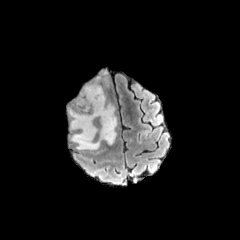
FLAIR MR image.
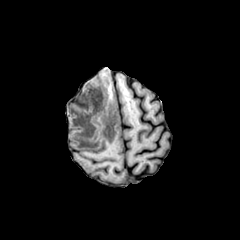
Same slice, T1-weighted MR image.
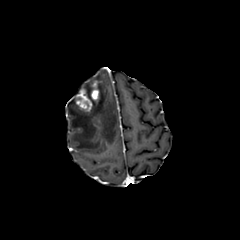
Post-contrast T1-weighted magnetic resonance of the same slice.
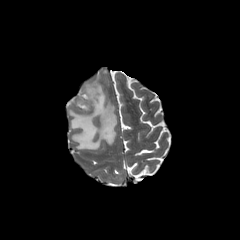
T2-weighted MRI of the same slice.
enhancing tumor at (91,81,99,101), (75,88,92,111)
peritumoral edema at (69,82,116,149)